FLAIR MRI.
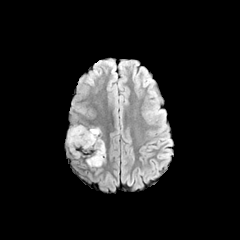
T1-weighted MRI.
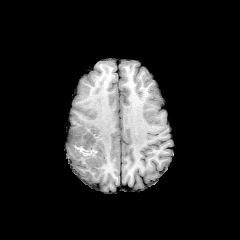
Post-contrast T1-weighted MR image.
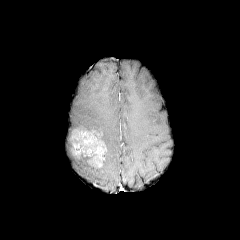
T2-weighted MR image.
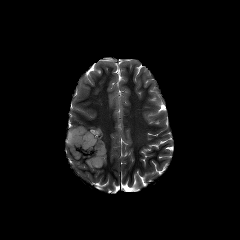
Axial slice.
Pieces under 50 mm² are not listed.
The enhancing tumor is bounded by <box>69,128,106,167</box>. The largest peritumoral edema region is at <box>67,126,85,149</box>.